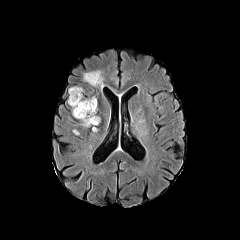
FLAIR MR.
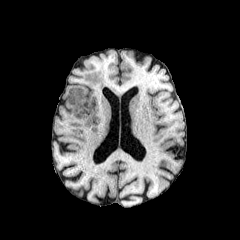
T1-weighted MR of the same slice.
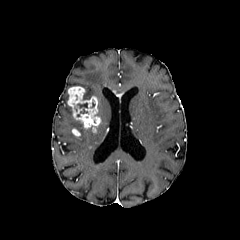
Post-contrast T1-weighted magnetic resonance.
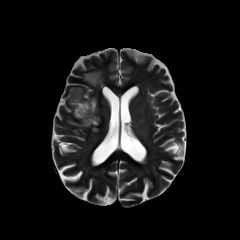
T2-weighted MR image of the same slice.
Axial view
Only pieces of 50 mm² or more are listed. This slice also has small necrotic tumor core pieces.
<segmentation>
  <enhancing_tumor>left=67, top=86, right=100, bottom=132</enhancing_tumor>
  <peritumoral_edema>left=83, top=71, right=103, bottom=88</peritumoral_edema>
</segmentation>